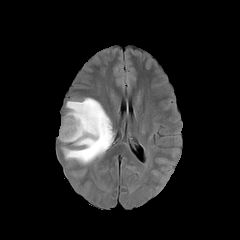
FLAIR magnetic resonance.
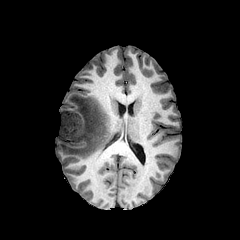
T1-weighted MRI of the same slice.
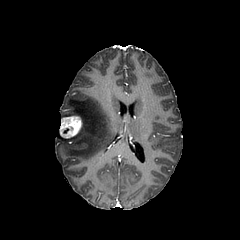
Post-contrast T1-weighted MR.
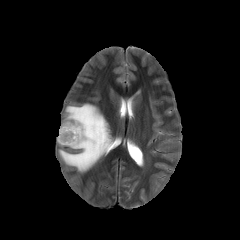
T2-weighted MRI.
Image size 240x240
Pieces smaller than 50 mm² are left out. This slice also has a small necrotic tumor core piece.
peritumoral edema = box(58, 98, 113, 165)
enhancing tumor = box(60, 116, 82, 138)